Brain | Axial slice
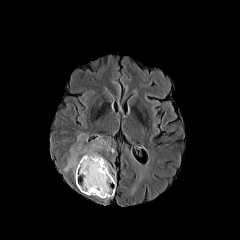
FLAIR magnetic resonance.
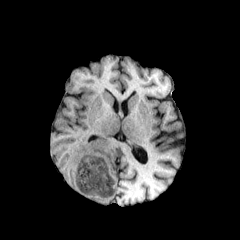
Same slice, T1-weighted magnetic resonance.
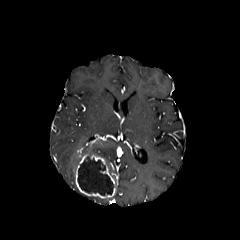
Post-contrast T1-weighted MRI of the same slice.
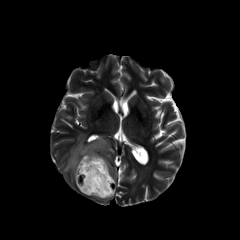
Same slice, T2-weighted MRI.
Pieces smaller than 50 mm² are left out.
The necrotic tumor core lies within left=78, top=156, right=113, bottom=195. The 2 largest peritumoral edema regions are located at left=106, top=161, right=116, bottom=175; left=64, top=132, right=115, bottom=176. The largest enhancing tumor region is at left=75, top=153, right=115, bottom=198.